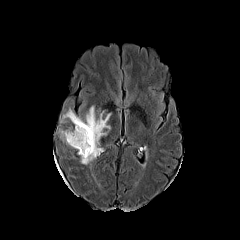
FLAIR magnetic resonance.
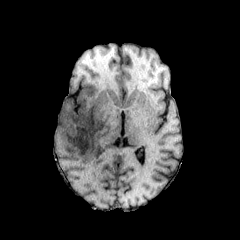
T1-weighted magnetic resonance.
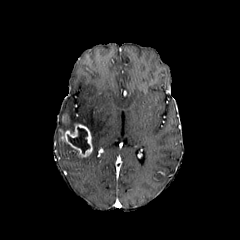
Post-contrast T1-weighted MR.
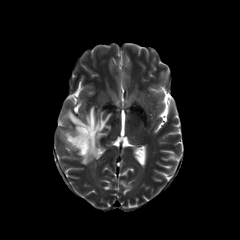
Same slice, T2-weighted magnetic resonance.
Axial view. Brain.
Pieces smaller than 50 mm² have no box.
The necrotic tumor core lies within 67 127 89 153. The largest peritumoral edema region is located at 60 106 111 164. 2 enhancing tumor regions are bounded by 60 124 92 157, 62 114 68 122.